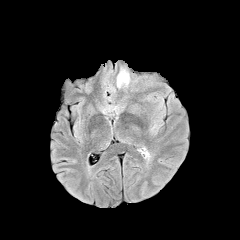
FLAIR MR image.
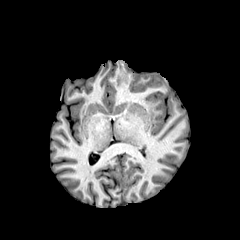
Same slice, T1-weighted MR.
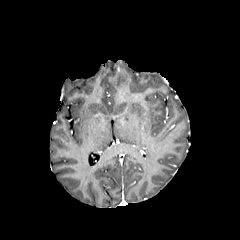
Post-contrast T1-weighted MR image.
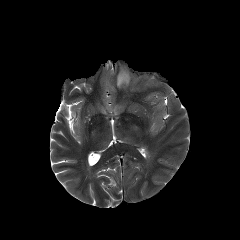
T2-weighted MR.
Axial slice
peritumoral edema — x1=117, y1=65, x2=164, y2=91